FLAIR magnetic resonance.
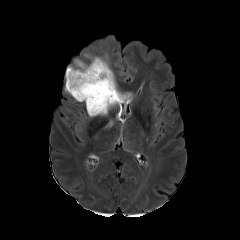
T1-weighted magnetic resonance.
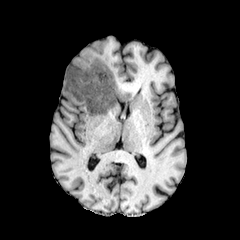
Post-contrast T1-weighted MRI.
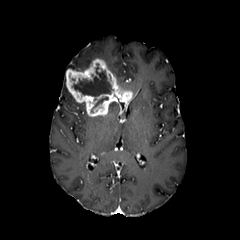
T2-weighted MRI.
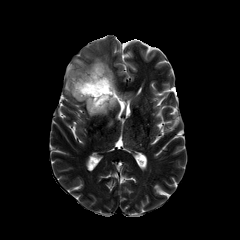
240x240 px
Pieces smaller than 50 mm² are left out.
The 2 largest peritumoral edema regions are located at x1=67, y1=59, x2=89, y2=70; x1=85, y1=54, x2=110, y2=69. The 2 largest necrotic tumor core regions are located at x1=94, y1=97, x2=108, y2=107; x1=73, y1=67, x2=111, y2=96. The enhancing tumor is at x1=66, y1=58, x2=132, y2=116.